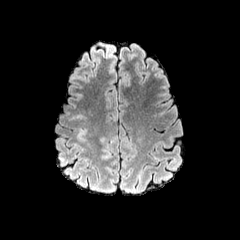
FLAIR magnetic resonance.
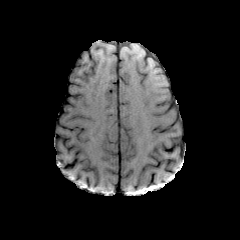
T1-weighted MR.
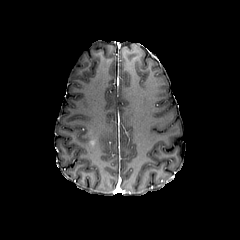
Post-contrast T1-weighted MR image of the same slice.
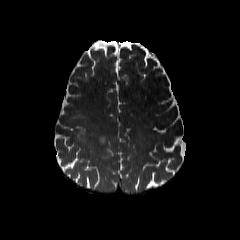
Same slice, T2-weighted MR image.
240x240 px
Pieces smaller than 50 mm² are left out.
{
  "peritumoral_edema": [
    "x1=99, y1=136, x2=111, y2=159"
  ]
}